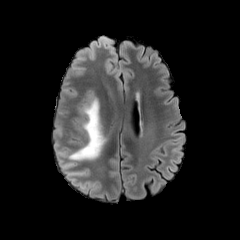
FLAIR magnetic resonance.
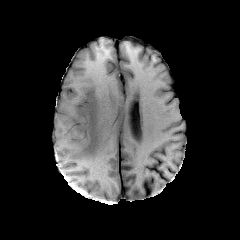
T1-weighted MRI.
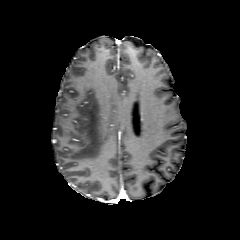
Post-contrast T1-weighted MR.
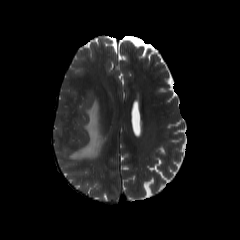
T2-weighted MR of the same slice.
Brain | Axial plane | 240x240 px
- peritumoral edema: bbox=[68, 97, 104, 160]